Brain | Axial plane
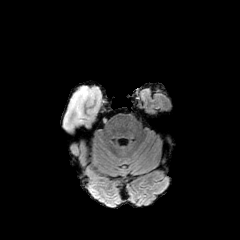
FLAIR MR.
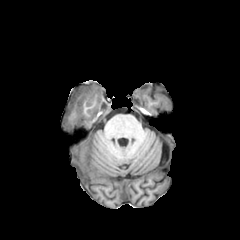
T1-weighted MR image of the same slice.
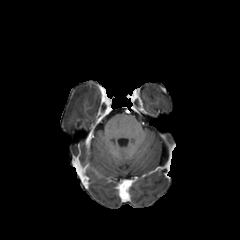
Post-contrast T1-weighted MRI.
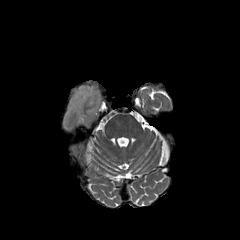
T2-weighted MRI.
peritumoral_edema:
  - box=[63, 85, 101, 135]